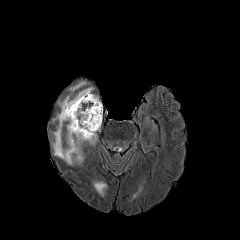
FLAIR MR.
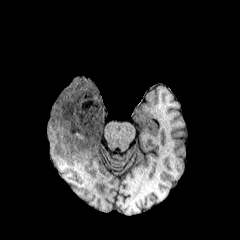
T1-weighted magnetic resonance.
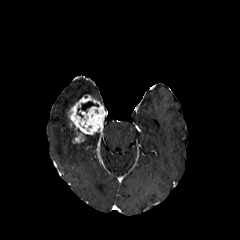
Post-contrast T1-weighted MR.
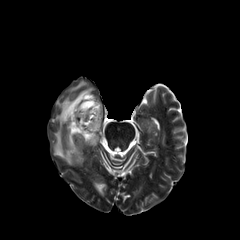
Same slice, T2-weighted MR image.
Axial slice. Image size 240x240.
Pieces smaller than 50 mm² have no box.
peritumoral edema — (84, 133, 97, 144), (52, 87, 98, 165), (93, 181, 106, 195), (69, 81, 86, 93)
enhancing tumor — (66, 94, 106, 143)
necrotic tumor core — (81, 101, 98, 110)